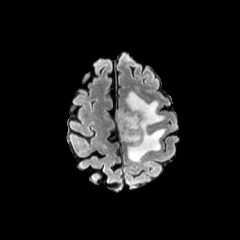
FLAIR MRI.
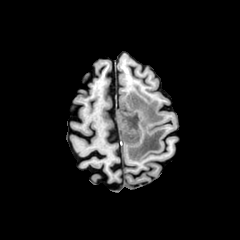
T1-weighted MR.
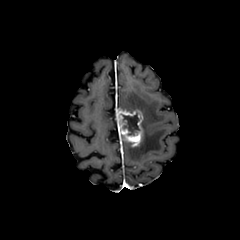
Same slice, post-contrast T1-weighted MRI.
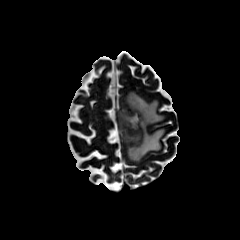
T2-weighted MR.
Axial plane.
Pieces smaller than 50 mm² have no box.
The enhancing tumor is located at [116,108,143,146]. The largest necrotic tumor core region appears at [122,113,139,134]. The peritumoral edema is located at [125,91,165,161].